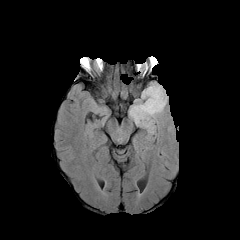
FLAIR MRI.
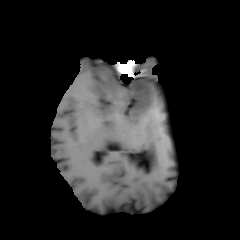
T1-weighted MR image of the same slice.
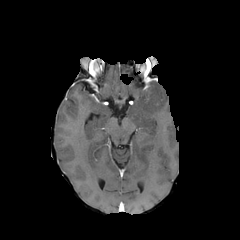
Same slice, post-contrast T1-weighted MRI.
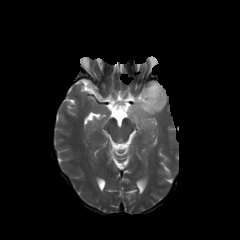
T2-weighted MR.
Axial plane
• peritumoral edema: rect(129, 82, 167, 132)